Axial plane
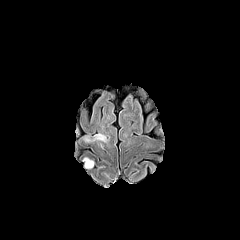
FLAIR MRI.
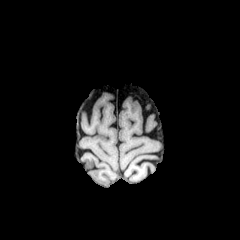
Same slice, T1-weighted magnetic resonance.
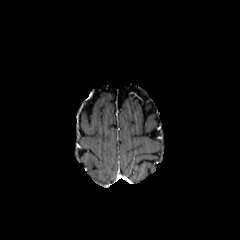
Same slice, post-contrast T1-weighted magnetic resonance.
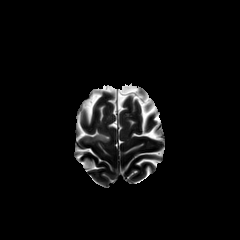
T2-weighted MR.
Annotated regions:
- peritumoral edema: box(95, 133, 106, 141); box(84, 158, 93, 168)